Brain. Slice 101/155. Axial plane.
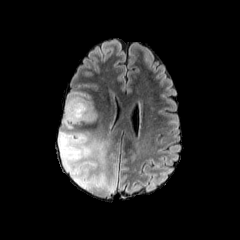
FLAIR magnetic resonance.
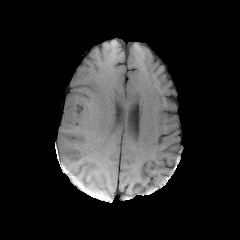
T1-weighted MR.
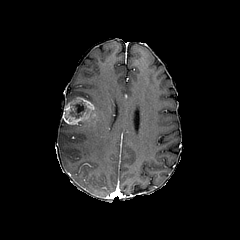
Post-contrast T1-weighted MR.
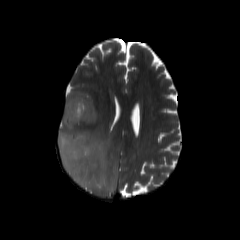
T2-weighted magnetic resonance of the same slice.
<segmentation>
  <peritumoral_edema>rect(65, 92, 93, 104); rect(78, 108, 98, 124); rect(58, 119, 117, 197)</peritumoral_edema>
  <enhancing_tumor>rect(63, 97, 95, 124)</enhancing_tumor>
  <necrotic_tumor_core>rect(70, 102, 86, 117)</necrotic_tumor_core>
</segmentation>